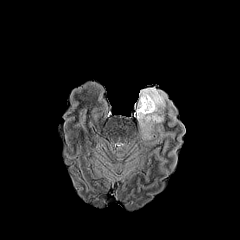
FLAIR magnetic resonance.
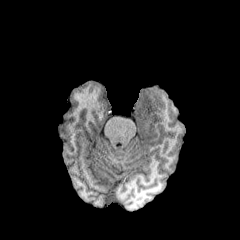
T1-weighted MRI of the same slice.
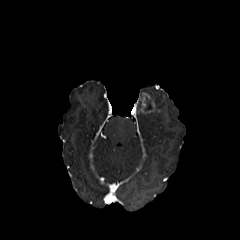
Post-contrast T1-weighted magnetic resonance.
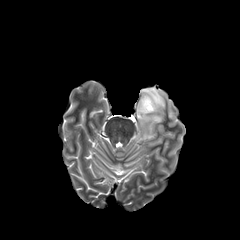
T2-weighted MR image.
Axial slice; Head
enhancing_tumor:
  - 137:92:156:113
necrotic_tumor_core:
  - 144:97:152:111
peritumoral_edema:
  - 136:87:167:138